FLAIR MR.
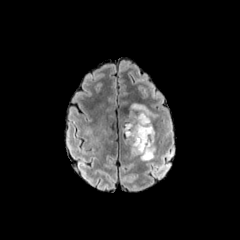
T1-weighted MRI.
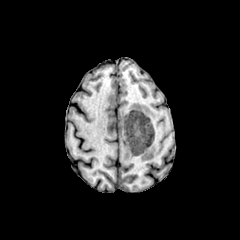
Post-contrast T1-weighted MRI.
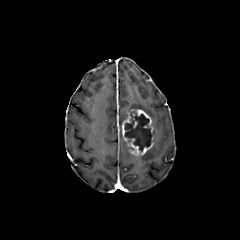
T2-weighted magnetic resonance.
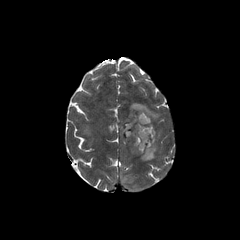
Brain | Image size 240x240 | Axial view
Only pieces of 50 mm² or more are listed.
The largest enhancing tumor region is bounded by x1=121, y1=109, x2=154, y2=155. The necrotic tumor core is bounded by x1=124, y1=113, x2=152, y2=151. The 2 largest peritumoral edema regions are located at x1=140, y1=137, x2=155, y2=160; x1=129, y1=103, x2=157, y2=124.